FLAIR magnetic resonance.
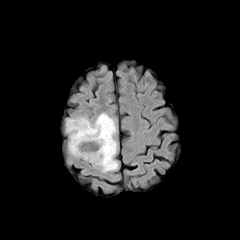
T1-weighted magnetic resonance.
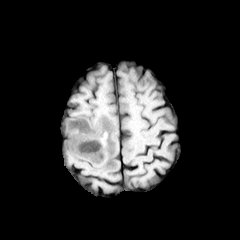
Post-contrast T1-weighted magnetic resonance.
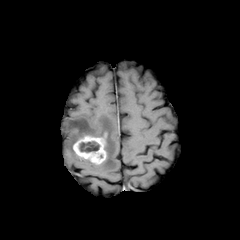
T2-weighted MRI.
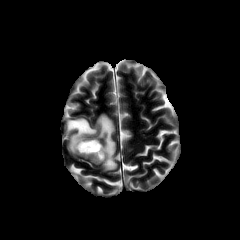
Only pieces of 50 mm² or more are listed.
Annotated regions:
* necrotic tumor core: region(79, 141, 99, 152)
* peritumoral edema: region(65, 113, 118, 172)
* enhancing tumor: region(73, 135, 106, 164)